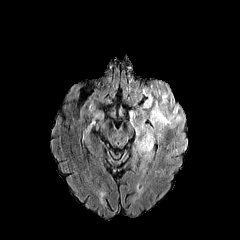
FLAIR MR.
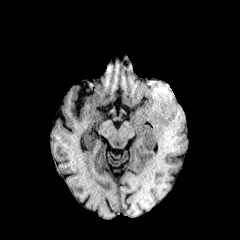
T1-weighted MR of the same slice.
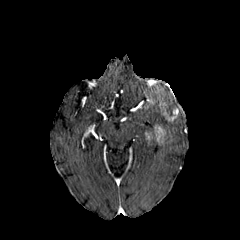
Post-contrast T1-weighted MR of the same slice.
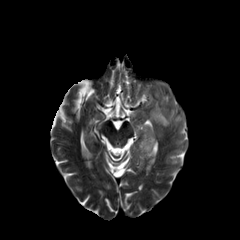
T2-weighted magnetic resonance of the same slice.
Findings:
* enhancing tumor: 159:102:178:121, 146:132:152:143, 145:96:153:107, 154:125:165:142
* peritumoral edema: 130:81:184:159